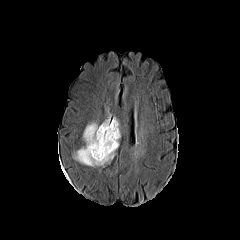
FLAIR MR.
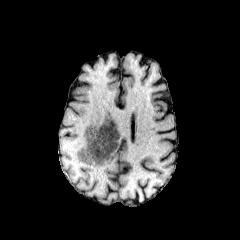
Same slice, T1-weighted MR image.
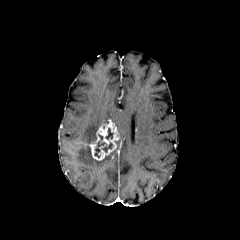
Post-contrast T1-weighted magnetic resonance of the same slice.
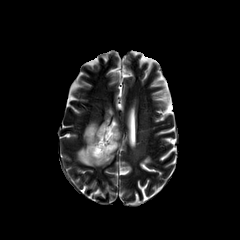
T2-weighted MRI of the same slice.
240x240 px.
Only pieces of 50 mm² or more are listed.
<segmentation>
  <necrotic_tumor_core>l=94, t=141, r=106, b=157; l=105, t=128, r=112, b=139</necrotic_tumor_core>
  <enhancing_tumor>l=89, t=120, r=119, b=160</enhancing_tumor>
  <peritumoral_edema>l=72, t=122, r=115, b=166; l=112, t=118, r=120, b=136</peritumoral_edema>
</segmentation>